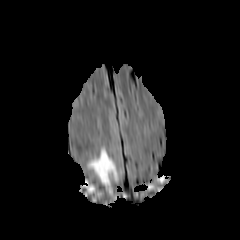
FLAIR magnetic resonance.
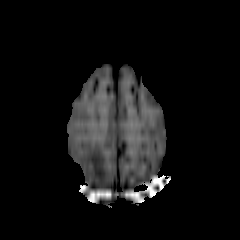
T1-weighted MRI of the same slice.
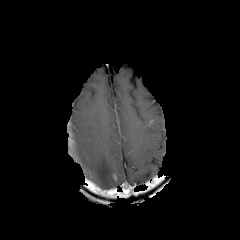
Post-contrast T1-weighted MR image.
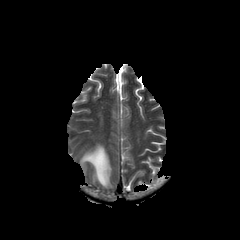
T2-weighted MR of the same slice.
peritumoral edema = (x1=87, y1=146, x2=117, y2=188)